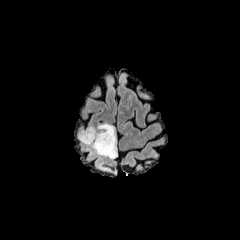
FLAIR MRI.
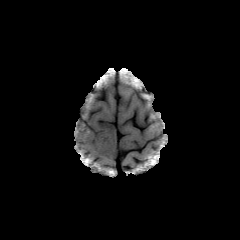
T1-weighted MR image of the same slice.
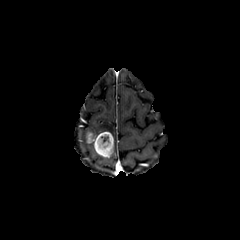
Same slice, post-contrast T1-weighted MR.
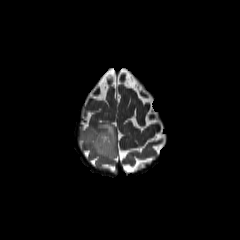
T2-weighted magnetic resonance of the same slice.
240x240 px; Head
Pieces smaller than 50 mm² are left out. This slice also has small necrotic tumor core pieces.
peritumoral_edema:
  - x1=79 y1=123 x2=116 y2=158
enhancing_tumor:
  - x1=86 y1=131 x2=114 y2=157